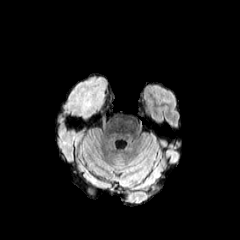
FLAIR MR.
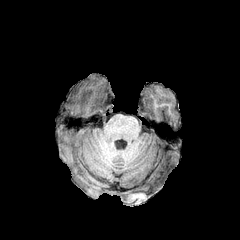
Same slice, T1-weighted MR.
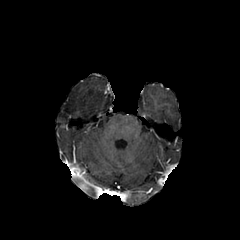
Post-contrast T1-weighted MR image.
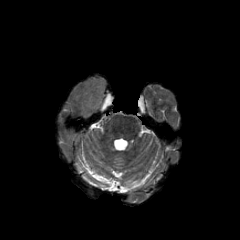
T2-weighted MR image of the same slice.
Image size 240x240 | Axial view
{"peritumoral_edema": [{"x1": 57, "y1": 74, "x2": 109, "y2": 123}]}